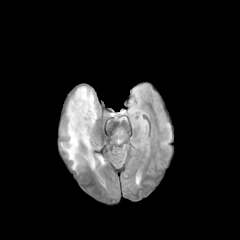
FLAIR MRI.
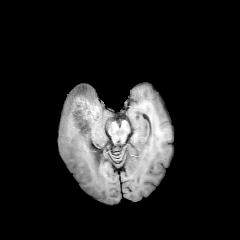
T1-weighted MR of the same slice.
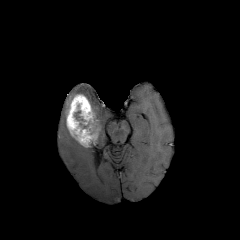
Same slice, post-contrast T1-weighted MR image.
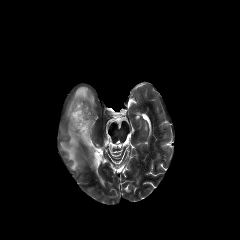
T2-weighted MR image of the same slice.
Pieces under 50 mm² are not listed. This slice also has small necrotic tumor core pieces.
peritumoral edema — left=85, top=144, right=95, bottom=168; left=60, top=128, right=80, bottom=169; left=75, top=86, right=97, bottom=120
enhancing tumor — left=66, top=93, right=96, bottom=146